240x240 | Slice index 52
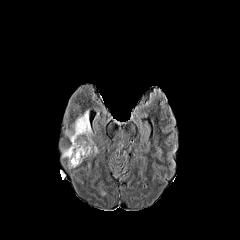
FLAIR MR image.
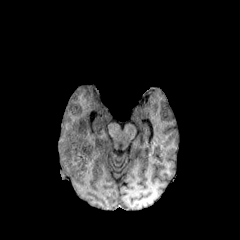
T1-weighted MR image.
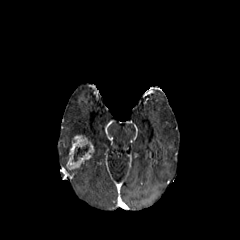
Same slice, post-contrast T1-weighted MR.
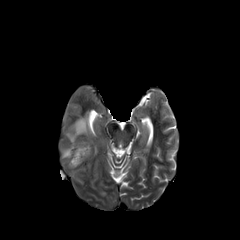
T2-weighted MRI.
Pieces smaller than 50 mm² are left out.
- enhancing tumor: rect(66, 135, 94, 169)
- necrotic tumor core: rect(73, 145, 88, 161)
- peritumoral edema: rect(62, 148, 69, 158); rect(65, 111, 91, 146)